FLAIR MR image.
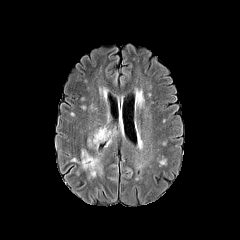
T1-weighted magnetic resonance.
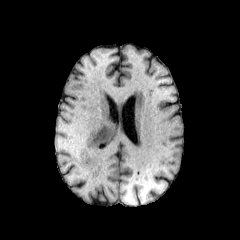
Post-contrast T1-weighted MR image.
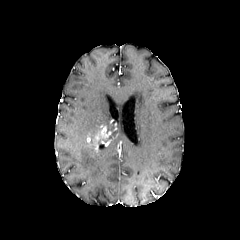
T2-weighted MR.
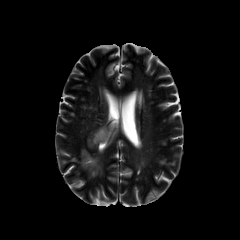
Brain.
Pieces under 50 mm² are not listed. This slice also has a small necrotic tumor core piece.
peritumoral edema = left=81, top=149, right=102, bottom=177
enhancing tumor = left=87, top=126, right=111, bottom=149